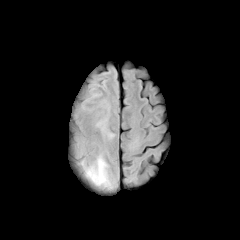
FLAIR MR image.
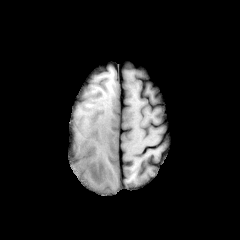
T1-weighted MRI.
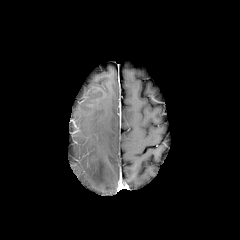
Post-contrast T1-weighted MRI.
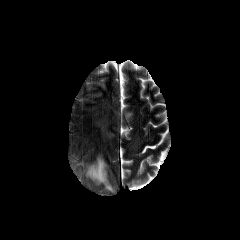
T2-weighted MR of the same slice.
Axial view
{"peritumoral_edema": ["[86, 156, 110, 188]"]}